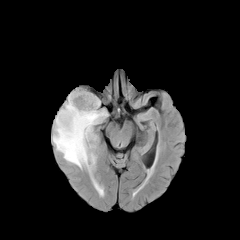
FLAIR MRI.
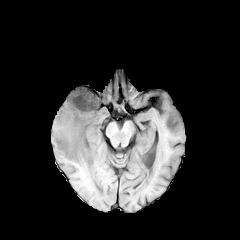
T1-weighted magnetic resonance.
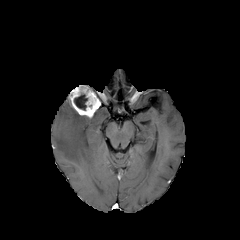
Post-contrast T1-weighted MR of the same slice.
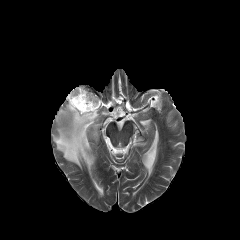
Same slice, T2-weighted MR image.
Axial slice; 240x240 px; Head
enhancing tumor at l=68, t=85, r=100, b=118
necrotic tumor core at l=74, t=94, r=87, b=110
peritumoral edema at l=52, t=99, r=107, b=173